Slice index 53, Brain
FLAIR MRI.
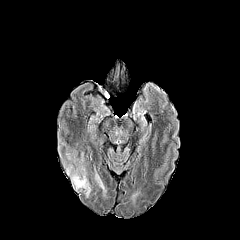
T1-weighted magnetic resonance.
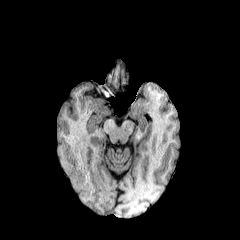
Post-contrast T1-weighted magnetic resonance.
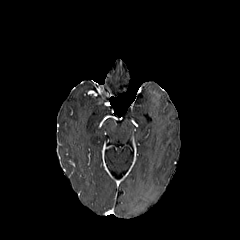
T2-weighted MRI.
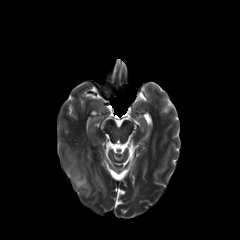
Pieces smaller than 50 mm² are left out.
The 2 largest peritumoral edema regions are located at <bbox>71, 169, 90, 197</bbox>, <bbox>95, 174, 105, 192</bbox>.